Brain, Axial view
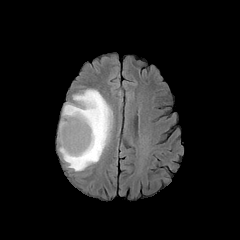
FLAIR MRI.
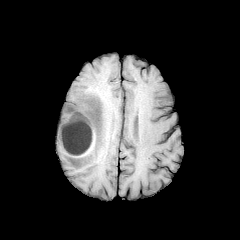
T1-weighted MR image.
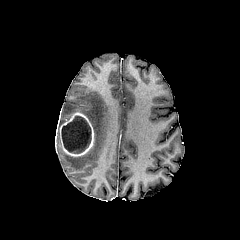
Post-contrast T1-weighted magnetic resonance.
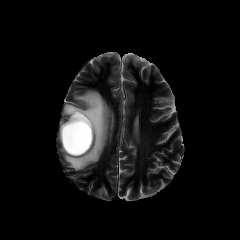
T2-weighted MRI.
necrotic tumor core: (x1=62, y1=116, x2=91, y2=153) | enhancing tumor: (x1=59, y1=111, x2=94, y2=156) | peritumoral edema: (x1=58, y1=89, x2=112, y2=170)